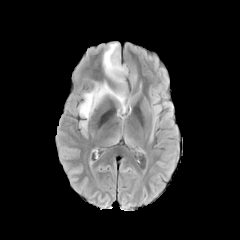
FLAIR magnetic resonance.
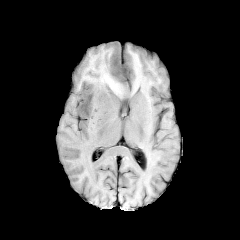
T1-weighted MR image.
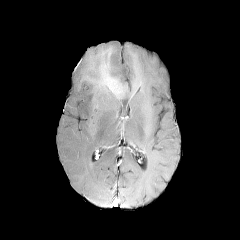
Post-contrast T1-weighted magnetic resonance.
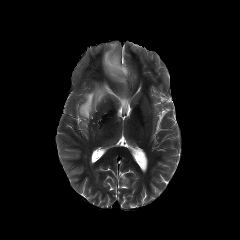
Same slice, T2-weighted MR image.
Brain | 240x240 px | Axial slice
<segmentation>
  <peritumoral_edema>(79, 42, 136, 138)</peritumoral_edema>
</segmentation>